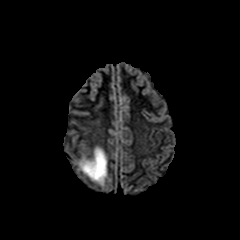
FLAIR MR image.
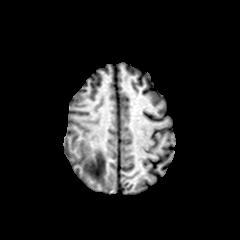
T1-weighted MR.
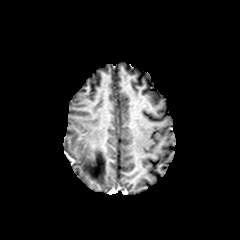
Same slice, post-contrast T1-weighted MR image.
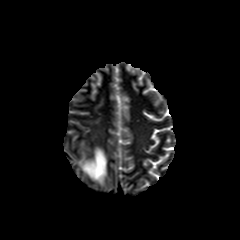
T2-weighted MR of the same slice.
240x240 px
peritumoral_edema:
  - x1=79, y1=147, x2=106, y2=185